Slice 106/155 | Axial slice | Brain | 240x240
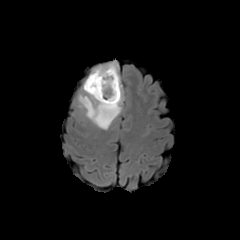
FLAIR MRI.
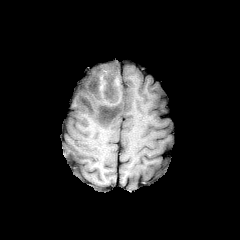
T1-weighted magnetic resonance.
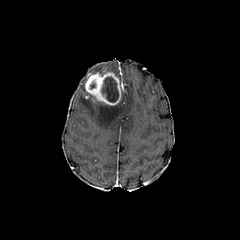
Post-contrast T1-weighted MRI.
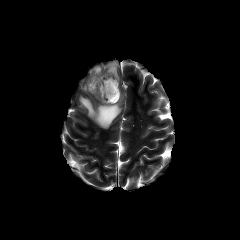
Same slice, T2-weighted magnetic resonance.
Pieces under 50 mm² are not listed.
necrotic tumor core at [x1=101, y1=77, x2=118, y2=102]
enhancing tumor at [x1=85, y1=70, x2=121, y2=105]
peritumoral edema at [x1=91, y1=61, x2=119, y2=79], [x1=78, y1=83, x2=123, y2=129]